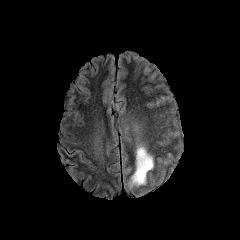
FLAIR magnetic resonance.
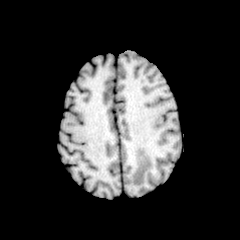
T1-weighted magnetic resonance of the same slice.
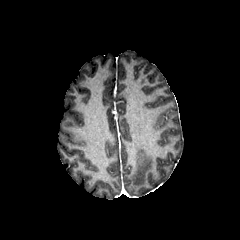
Post-contrast T1-weighted MR.
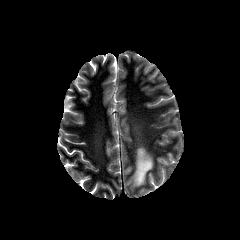
T2-weighted MR image of the same slice.
Axial slice | Head
peritumoral_edema:
  - 131 146 153 185